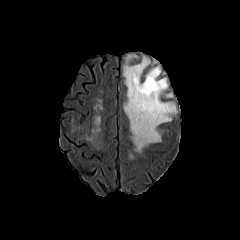
FLAIR MR image.
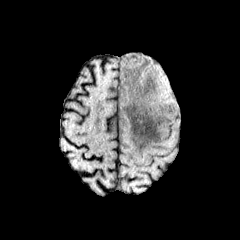
T1-weighted MR of the same slice.
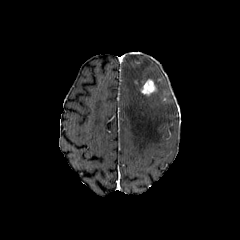
Post-contrast T1-weighted magnetic resonance.
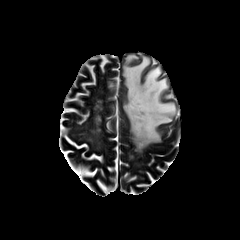
T2-weighted MR image.
Axial slice. Head.
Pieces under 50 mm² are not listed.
peritumoral edema at 123,55,176,152
enhancing tumor at 140,79,156,95